Head | Axial slice | Slice 98/155
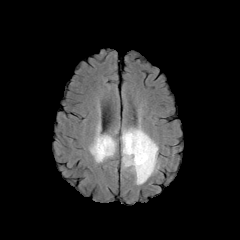
FLAIR MRI.
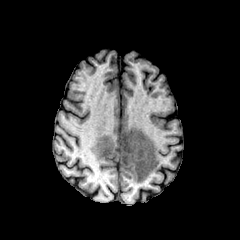
Same slice, T1-weighted magnetic resonance.
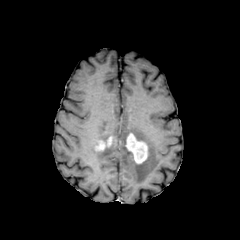
Post-contrast T1-weighted MR.
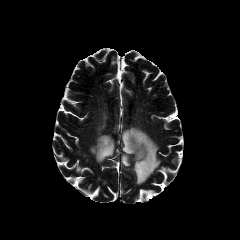
Same slice, T2-weighted MRI.
enhancing_tumor:
  - region(95, 137, 112, 151)
  - region(125, 133, 148, 163)
peritumoral_edema:
  - region(89, 126, 116, 162)
  - region(121, 126, 158, 184)